Image covers 240 mm x 240 mm. Brain.
FLAIR MR.
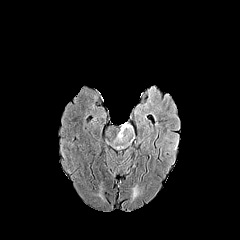
T1-weighted MRI.
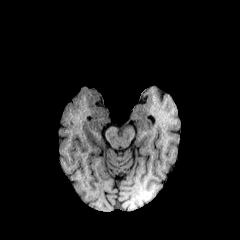
Post-contrast T1-weighted MR image.
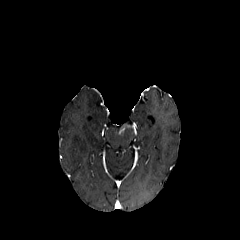
T2-weighted MR.
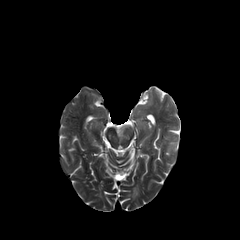
<segmentation>
  <peritumoral_edema>l=132, t=184, r=138, b=198; l=118, t=122, r=132, b=139</peritumoral_edema>
</segmentation>